FLAIR MR image.
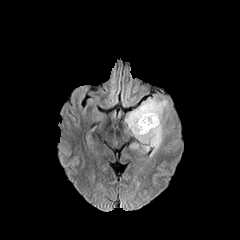
T1-weighted MR image.
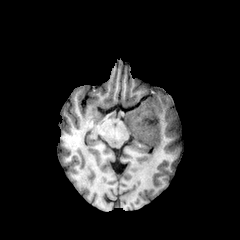
Post-contrast T1-weighted MRI.
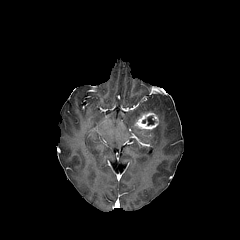
T2-weighted MR image.
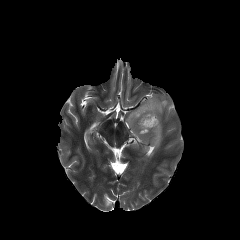
Head | Axial slice
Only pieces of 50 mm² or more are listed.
enhancing tumor at box(135, 112, 158, 129)
peritumoral edema at box(125, 96, 169, 156)
necrotic tumor core at box(142, 116, 155, 125)